FLAIR MR image.
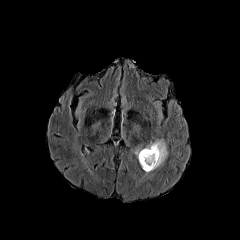
T1-weighted MR image.
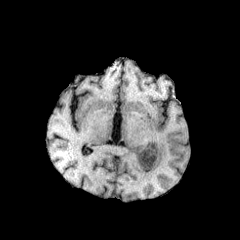
Post-contrast T1-weighted MR image.
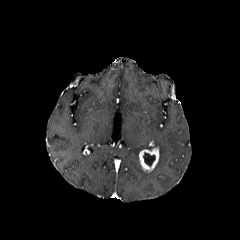
T2-weighted MR image.
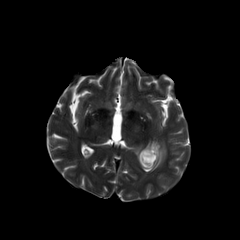
Axial plane; 240x240 px
The enhancing tumor is bounded by x1=139, y1=147, x2=159, y2=171. 2 peritumoral edema regions appear at x1=144, y1=137, x2=168, y2=168; x1=134, y1=145, x2=143, y2=158. The necrotic tumor core is located at x1=143, y1=152, x2=155, y2=166.